FLAIR magnetic resonance.
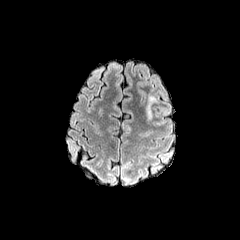
T1-weighted MR image.
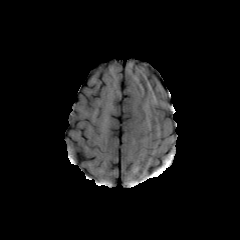
Post-contrast T1-weighted MR image.
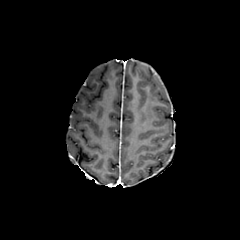
T2-weighted magnetic resonance.
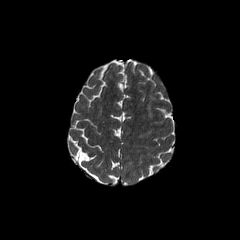
peritumoral edema: (146,95,156,120)